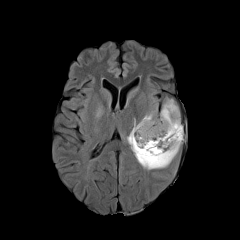
FLAIR MRI.
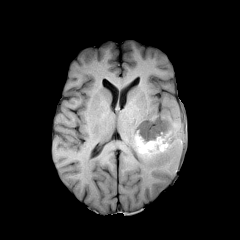
T1-weighted MR of the same slice.
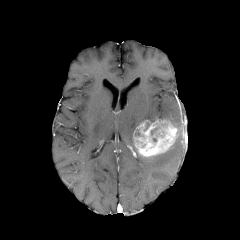
Post-contrast T1-weighted MR.
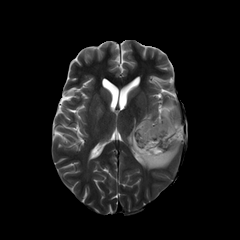
Same slice, T2-weighted magnetic resonance.
Head.
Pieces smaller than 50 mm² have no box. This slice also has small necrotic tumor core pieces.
peritumoral_edema:
  - [x1=127, y1=95, x2=183, y2=169]
  - [x1=94, y1=102, x2=103, y2=120]
enhancing_tumor:
  - [x1=134, y1=119, x2=177, y2=156]